FLAIR MRI.
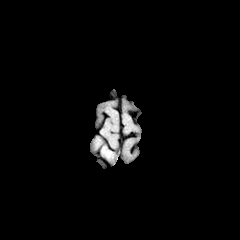
T1-weighted MR image.
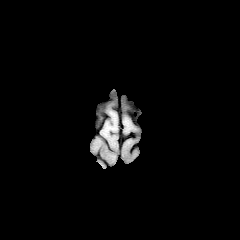
Post-contrast T1-weighted MRI.
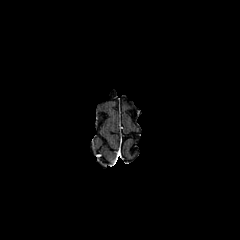
T2-weighted MR.
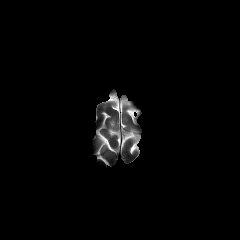
peritumoral edema — [90,136,102,151], [101,146,115,164]